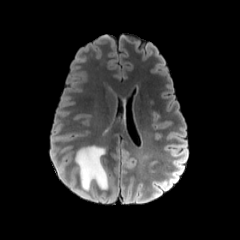
FLAIR MR.
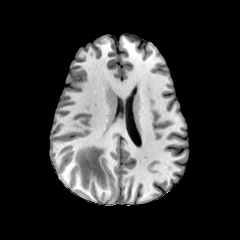
Same slice, T1-weighted MR image.
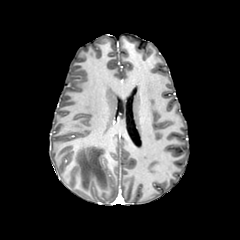
Post-contrast T1-weighted MR of the same slice.
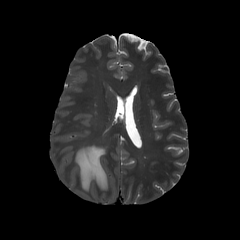
T2-weighted MR.
<segmentation>
  <peritumoral_edema>bbox(76, 146, 108, 190)</peritumoral_edema>
</segmentation>